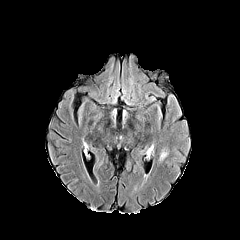
FLAIR MR.
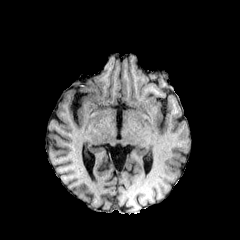
Same slice, T1-weighted MR image.
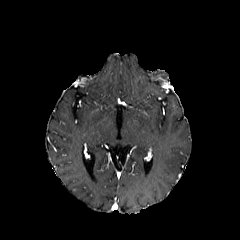
Post-contrast T1-weighted magnetic resonance.
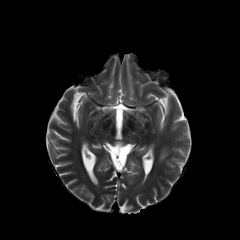
Same slice, T2-weighted magnetic resonance.
Brain
peritumoral_edema:
  - 159, 147, 168, 160